Slice index 31 | Image width 240 mm, 1.00 mm slice spacing | Axial slice | Image size 240x240
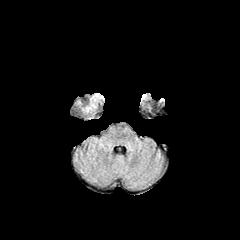
FLAIR MRI.
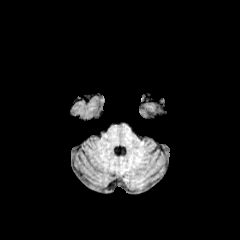
T1-weighted MRI.
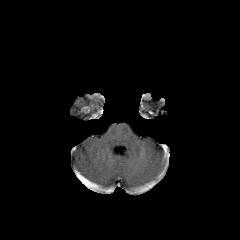
Post-contrast T1-weighted MR.
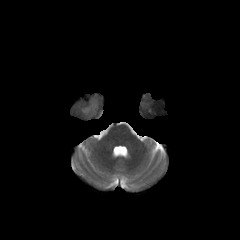
T2-weighted MRI.
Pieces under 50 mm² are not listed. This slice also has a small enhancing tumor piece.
peritumoral edema at x1=85, y1=96, x2=97, y2=112